FLAIR MR image.
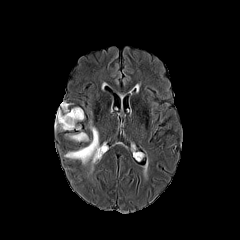
T1-weighted magnetic resonance.
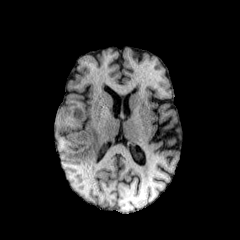
Post-contrast T1-weighted magnetic resonance.
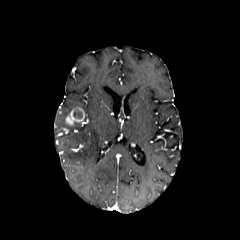
T2-weighted MRI.
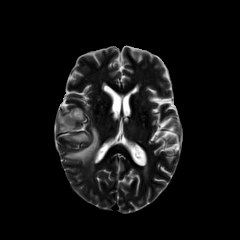
Head
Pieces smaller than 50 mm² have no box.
- necrotic tumor core: (73,111,82,118)
- enhancing tumor: (65,107,84,125)
- peritumoral edema: (69,132,88,141), (55,103,79,130), (65,125,98,164)